Axial plane | Slice 101 of 155
FLAIR magnetic resonance.
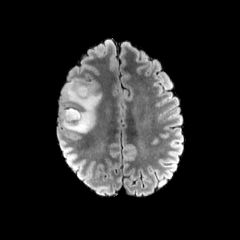
T1-weighted MRI.
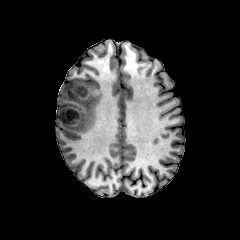
Post-contrast T1-weighted magnetic resonance.
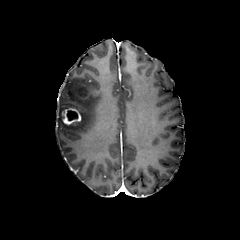
T2-weighted MR image.
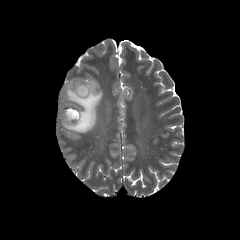
<segmentation>
  <enhancing_tumor>(x1=62, y1=108, x2=81, y2=125)</enhancing_tumor>
  <peritumoral_edema>(x1=59, y1=78, x2=101, y2=132)</peritumoral_edema>
  <necrotic_tumor_core>(x1=67, y1=110, x2=78, y2=120)</necrotic_tumor_core>
</segmentation>